FLAIR MRI.
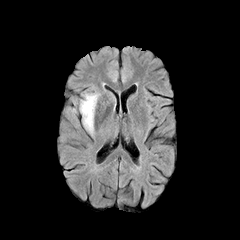
T1-weighted magnetic resonance.
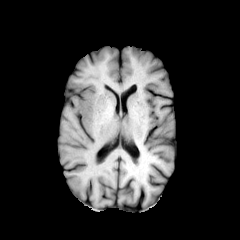
Post-contrast T1-weighted MR.
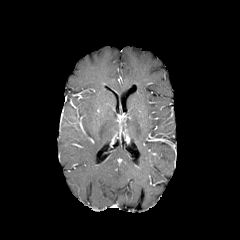
T2-weighted MR.
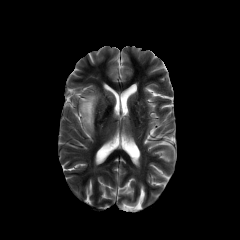
Head, Axial plane, 240x240
Segmented structures:
* peritumoral edema: {"x1": 79, "y1": 92, "x2": 99, "y2": 133}